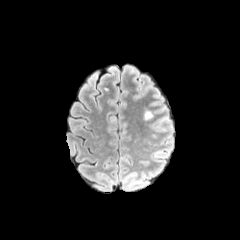
FLAIR MRI.
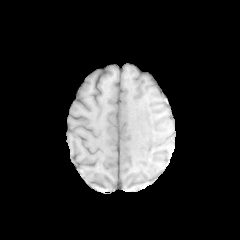
T1-weighted MR of the same slice.
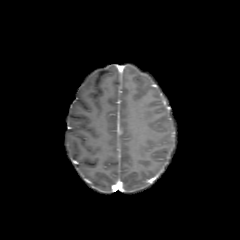
Post-contrast T1-weighted MRI of the same slice.
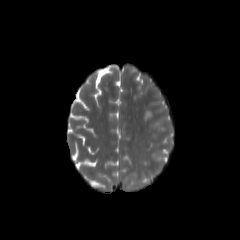
T2-weighted MR.
{"peritumoral_edema": ["l=144, t=111, r=151, b=119"]}